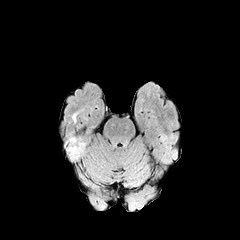
FLAIR MR.
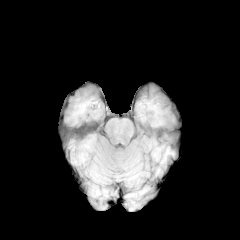
T1-weighted MR image of the same slice.
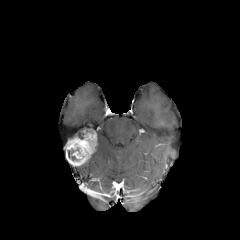
Same slice, post-contrast T1-weighted MRI.
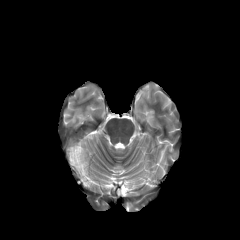
T2-weighted magnetic resonance.
240x240; Head
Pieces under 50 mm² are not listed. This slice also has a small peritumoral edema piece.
Segmented structures:
* necrotic tumor core: <bbox>68, 149, 77, 160</bbox>
* enhancing tumor: <bbox>65, 130, 96, 165</bbox>